FLAIR MRI.
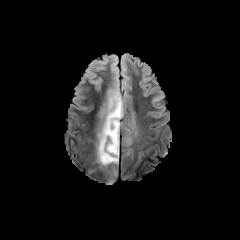
T1-weighted magnetic resonance.
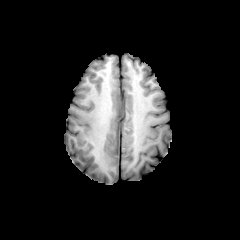
Post-contrast T1-weighted MRI.
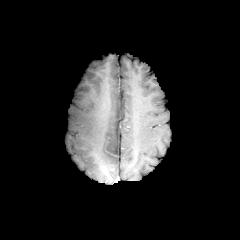
T2-weighted MRI.
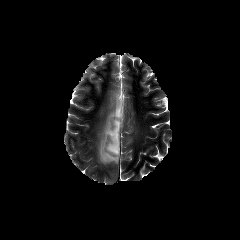
Image size 240x240
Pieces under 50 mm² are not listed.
peritumoral_edema:
  - (98, 102, 122, 165)